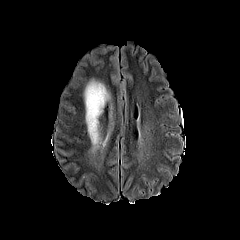
FLAIR MRI.
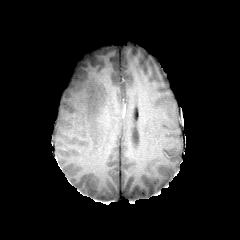
T1-weighted MR image.
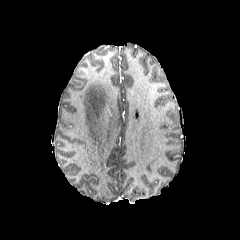
Post-contrast T1-weighted MR image.
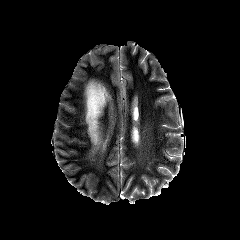
T2-weighted MR image.
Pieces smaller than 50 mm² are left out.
Findings:
* peritumoral edema: [x1=85, y1=79, x2=109, y2=149]